FLAIR magnetic resonance.
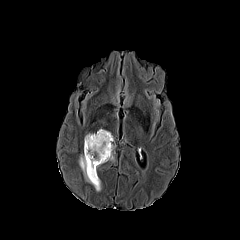
T1-weighted MRI.
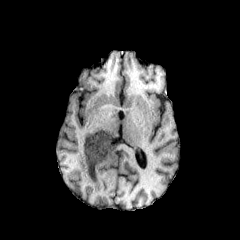
Post-contrast T1-weighted MRI.
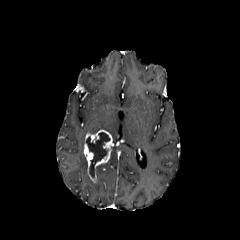
T2-weighted MRI.
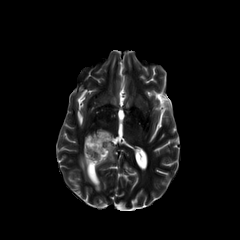
Head
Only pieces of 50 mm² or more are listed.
<segmentation>
  <enhancing_tumor>{"x1": 84, "y1": 129, "x2": 113, "y2": 183}</enhancing_tumor>
  <necrotic_tumor_core>{"x1": 86, "y1": 132, "x2": 110, "y2": 177}</necrotic_tumor_core>
  <peritumoral_edema>{"x1": 79, "y1": 155, "x2": 101, "y2": 191}</peritumoral_edema>
</segmentation>